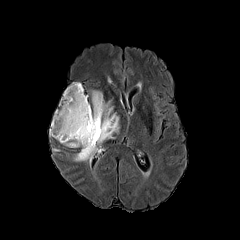
FLAIR MRI.
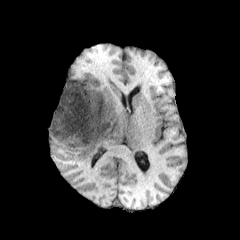
T1-weighted MR of the same slice.
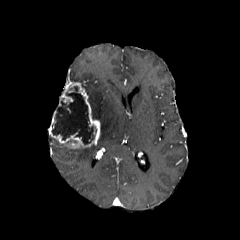
Post-contrast T1-weighted MR image of the same slice.
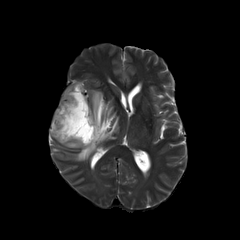
T2-weighted magnetic resonance.
240x240 px. Axial plane.
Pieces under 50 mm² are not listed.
The largest necrotic tumor core region lies within bbox=[52, 86, 94, 144]. The largest peritumoral edema region is bounded by bbox=[73, 90, 119, 162]. The largest enhancing tumor region is bounded by bbox=[48, 82, 100, 148].